FLAIR MR image.
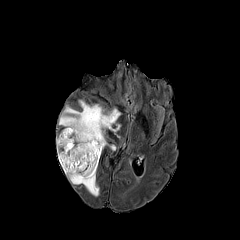
T1-weighted MR.
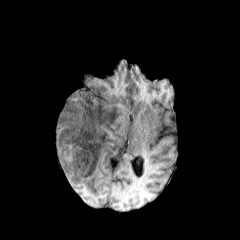
Post-contrast T1-weighted MR.
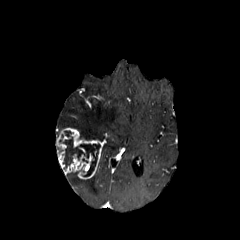
T2-weighted magnetic resonance.
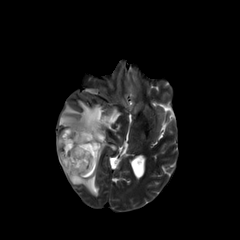
240x240
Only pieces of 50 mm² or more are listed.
necrotic tumor core — <bbox>63, 131, 100, 176</bbox>
peritumoral edema — <bbox>67, 172, 99, 196</bbox>, <bbox>58, 99, 122, 141</bbox>
enhancing tumor — <bbox>56, 127, 106, 179</bbox>